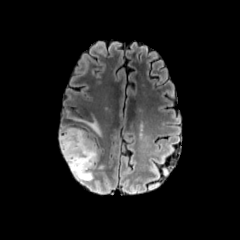
FLAIR MR.
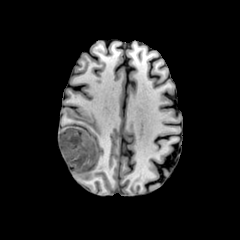
T1-weighted MR image.
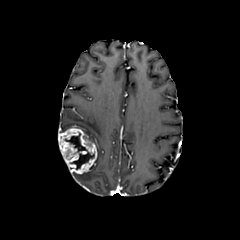
Same slice, post-contrast T1-weighted MRI.
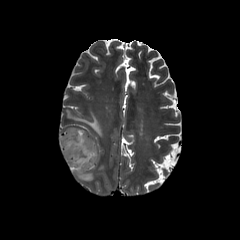
T2-weighted MRI.
Brain | 240x240 px
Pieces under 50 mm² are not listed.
enhancing tumor at rect(58, 126, 97, 174)
peritumoral edema at rect(66, 109, 102, 181)
necrotic tumor core at rect(70, 151, 94, 169); rect(65, 133, 86, 151)